FLAIR MRI.
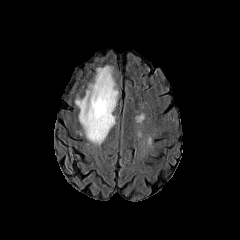
T1-weighted MR.
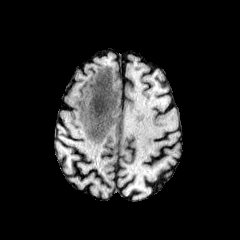
Post-contrast T1-weighted MR image.
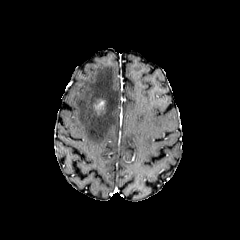
T2-weighted MR.
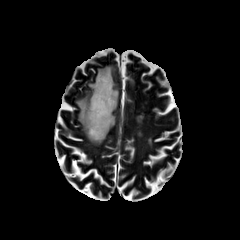
peritumoral_edema:
  - (75, 65, 118, 145)
enhancing_tumor:
  - (94, 100, 105, 113)